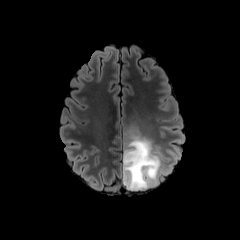
FLAIR magnetic resonance.
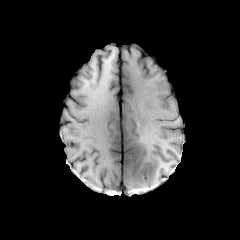
T1-weighted MR image.
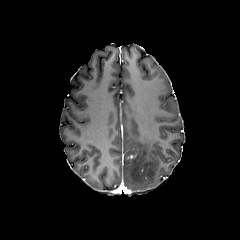
Post-contrast T1-weighted MR image.
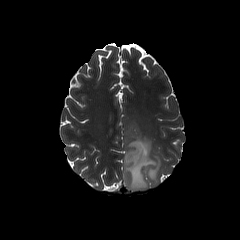
T2-weighted MR of the same slice.
Axial slice
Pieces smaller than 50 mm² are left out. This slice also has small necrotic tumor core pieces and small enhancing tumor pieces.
<segmentation>
  <peritumoral_edema>bbox=[122, 133, 167, 190]</peritumoral_edema>
</segmentation>